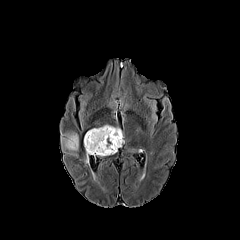
FLAIR magnetic resonance.
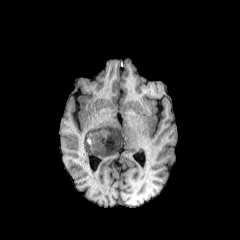
T1-weighted magnetic resonance.
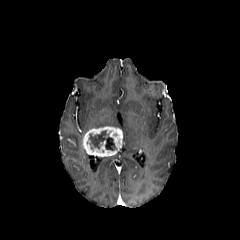
Post-contrast T1-weighted MR image.
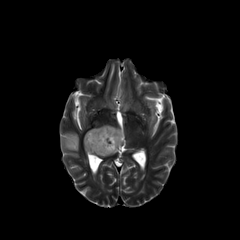
T2-weighted magnetic resonance.
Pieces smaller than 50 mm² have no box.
The necrotic tumor core is bounded by bbox=[89, 130, 116, 150]. The enhancing tumor is located at bbox=[83, 126, 123, 156]. The largest peritumoral edema region appears at bbox=[61, 132, 78, 156].